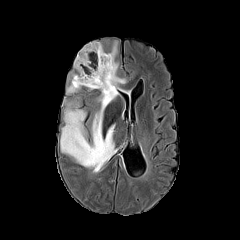
FLAIR magnetic resonance.
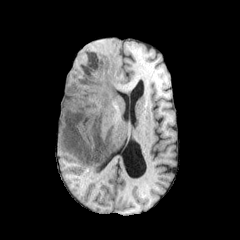
T1-weighted MR image of the same slice.
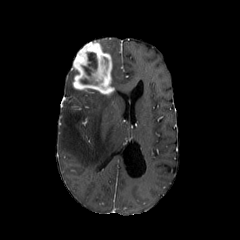
Post-contrast T1-weighted MR of the same slice.
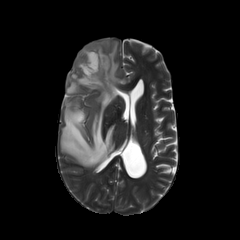
T2-weighted MRI.
240x240
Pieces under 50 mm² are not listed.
The largest necrotic tumor core region appears at {"x1": 81, "y1": 52, "x2": 97, "y2": 75}. The 3 largest peritumoral edema regions are bounded by {"x1": 105, "y1": 41, "x2": 125, "y2": 90}, {"x1": 66, "y1": 73, "x2": 79, "y2": 94}, {"x1": 60, "y1": 88, "x2": 118, "y2": 168}. The enhancing tumor appears at {"x1": 72, "y1": 41, "x2": 114, "y2": 95}.